FLAIR MRI.
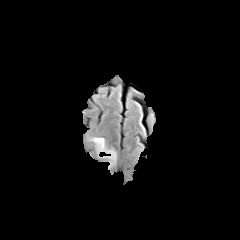
T1-weighted magnetic resonance.
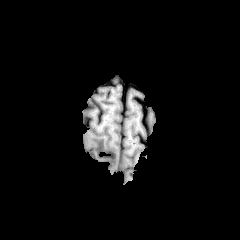
Post-contrast T1-weighted MRI.
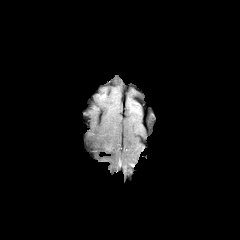
T2-weighted MR image.
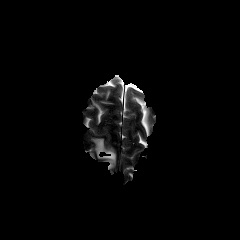
240x240 px. Brain.
peritumoral edema: 94,138,116,169